Brain
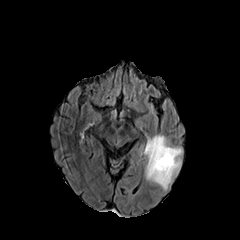
FLAIR MR image.
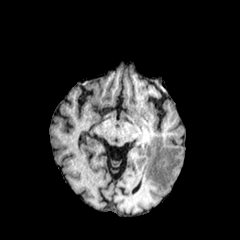
T1-weighted MRI.
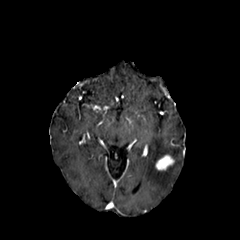
Post-contrast T1-weighted MR of the same slice.
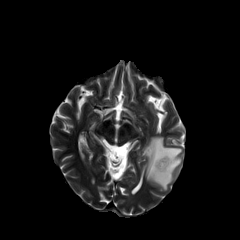
Same slice, T2-weighted magnetic resonance.
Annotated regions:
• enhancing tumor: x1=155 y1=154 x2=174 y2=171
• peritumoral edema: x1=145 y1=135 x2=182 y2=190